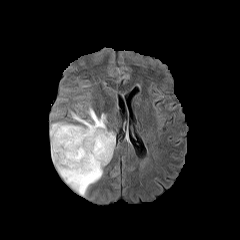
FLAIR MR.
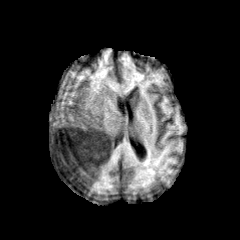
Same slice, T1-weighted MR.
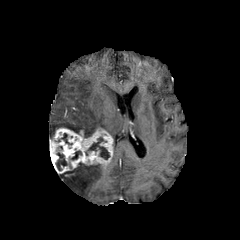
Post-contrast T1-weighted magnetic resonance.
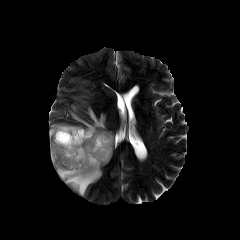
T2-weighted MR image.
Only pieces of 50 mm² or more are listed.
<segmentation>
  <enhancing_tumor>(50,127,113,173)</enhancing_tumor>
  <peritumoral_edema>(60,162,104,196), (50,107,115,148)</peritumoral_edema>
  <necrotic_tumor_core>(71,151,81,159), (61,133,71,144), (56,152,67,170), (88,137,109,159)</necrotic_tumor_core>
</segmentation>